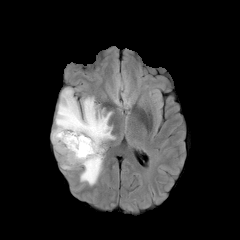
FLAIR MR image.
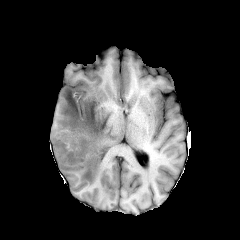
T1-weighted MRI.
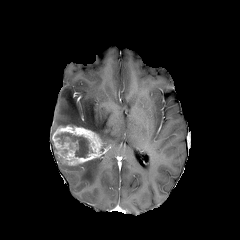
Post-contrast T1-weighted magnetic resonance of the same slice.
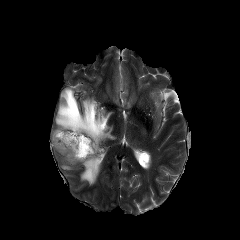
T2-weighted magnetic resonance.
Head; Axial view
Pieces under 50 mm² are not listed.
The enhancing tumor lies within [x1=52, y1=125, x2=101, y2=165]. The necrotic tumor core appears at [x1=59, y1=133, x2=88, y2=156]. The 2 largest peritumoral edema regions appear at [x1=61, y1=158, x2=102, y2=185], [x1=52, y1=87, x2=115, y2=141].